Axial plane.
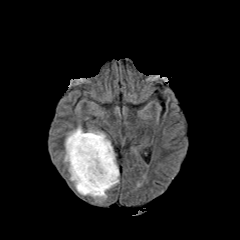
FLAIR MR.
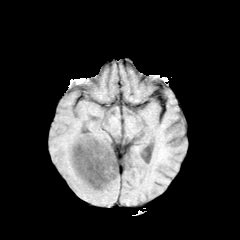
T1-weighted MRI of the same slice.
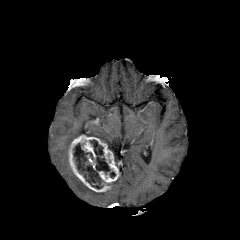
Post-contrast T1-weighted MRI.
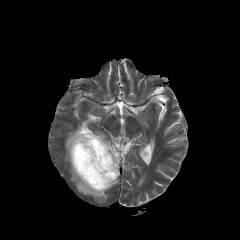
T2-weighted magnetic resonance of the same slice.
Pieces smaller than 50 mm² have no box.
The 2 largest necrotic tumor core regions are located at <box>90,139,110,173</box>, <box>73,143,102,188</box>. The 2 largest peritumoral edema regions are located at <box>64,125,113,163</box>, <box>68,164,107,202</box>. The largest enhancing tumor region is bounded by <box>68,134,119,192</box>.